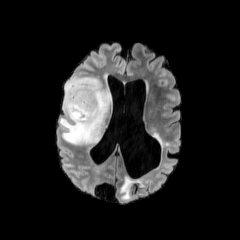
FLAIR MR image.
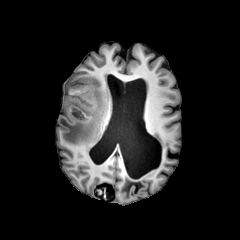
Same slice, T1-weighted MR.
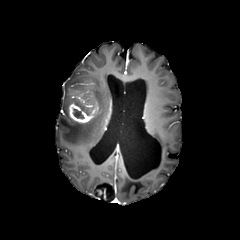
Post-contrast T1-weighted MR image.
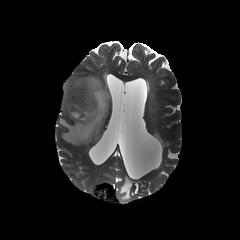
T2-weighted MRI.
Axial slice | Head
The enhancing tumor appears at 68, 93, 98, 123. The peritumoral edema is bounded by 59, 77, 111, 144. 2 necrotic tumor core regions appear at 73, 109, 84, 118; 76, 102, 89, 115.